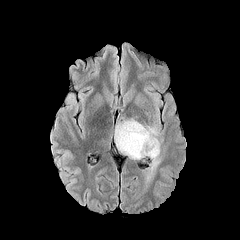
FLAIR MR.
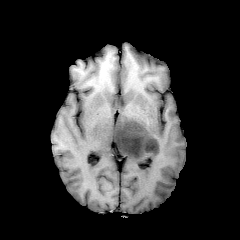
T1-weighted MRI of the same slice.
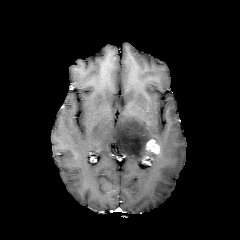
Same slice, post-contrast T1-weighted MR.
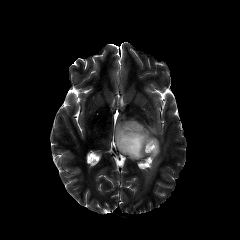
T2-weighted MR.
Head.
enhancing_tumor:
  - [145, 139, 160, 154]
peritumoral_edema:
  - [114, 118, 162, 178]